Slice index 115 | Image width 240 mm | 240x240
FLAIR MRI.
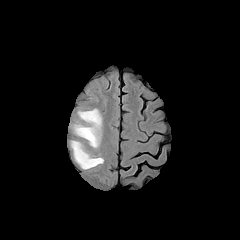
T1-weighted MR.
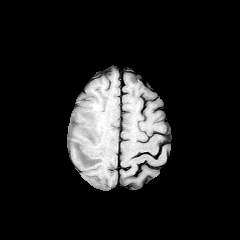
Post-contrast T1-weighted MRI.
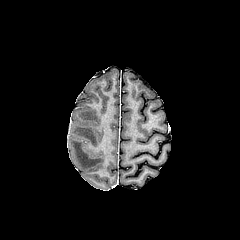
T2-weighted magnetic resonance.
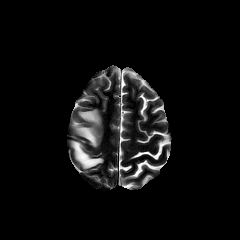
peritumoral edema: bounding box <bbox>71, 140, 103, 169</bbox>, <bbox>74, 109, 101, 147</bbox>